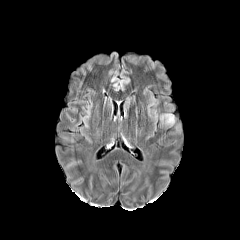
FLAIR MR image.
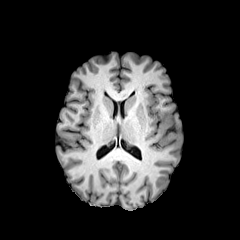
T1-weighted MR of the same slice.
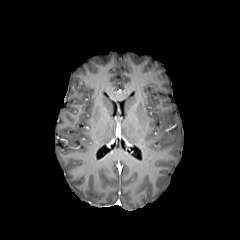
Post-contrast T1-weighted MR image.
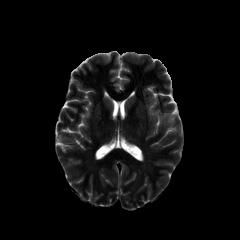
T2-weighted MR image.
Brain | 240x240 px
peritumoral edema — <box>161,113,174,124</box>